FLAIR MRI.
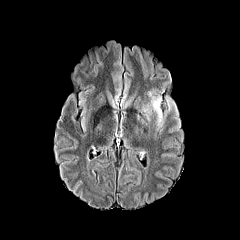
T1-weighted magnetic resonance.
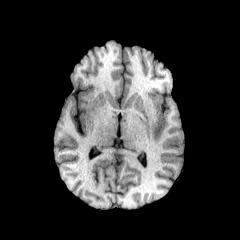
Post-contrast T1-weighted MR.
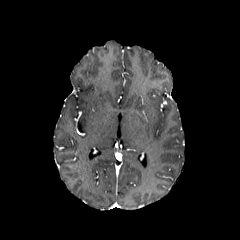
T2-weighted MR image.
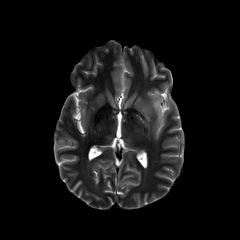
<segmentation>
  <peritumoral_edema>left=143, top=96, right=162, bottom=125</peritumoral_edema>
</segmentation>